Slice index 70, Axial slice, 240x240
FLAIR magnetic resonance.
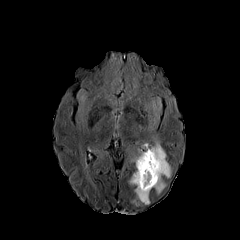
T1-weighted MRI.
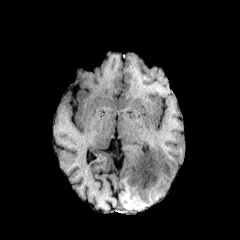
Post-contrast T1-weighted MR.
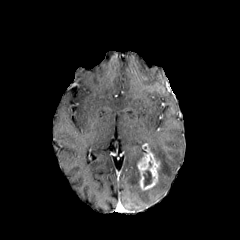
T2-weighted magnetic resonance.
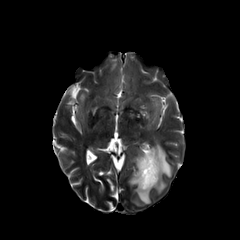
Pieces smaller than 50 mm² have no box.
<segmentation>
  <peritumoral_edema>164:97:174:118, 129:150:150:204, 143:98:171:193</peritumoral_edema>
  <enhancing_tumor>137:148:160:190</enhancing_tumor>
  <necrotic_tumor_core>144:170:151:185</necrotic_tumor_core>
</segmentation>